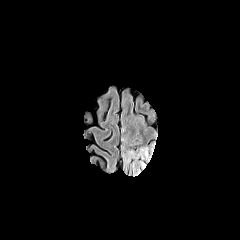
FLAIR MRI.
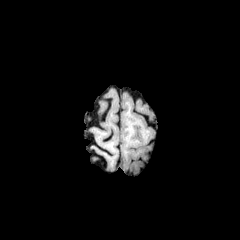
Same slice, T1-weighted MR.
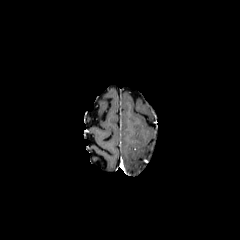
Same slice, post-contrast T1-weighted MRI.
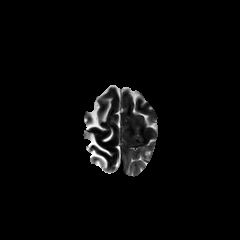
T2-weighted MR image.
Head
The peritumoral edema appears at {"x1": 123, "y1": 142, "x2": 155, "y2": 175}.